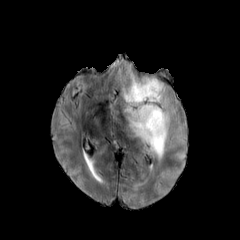
FLAIR MR image.
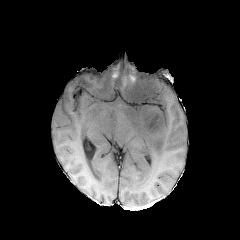
T1-weighted MR.
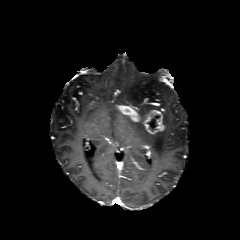
Post-contrast T1-weighted MRI.
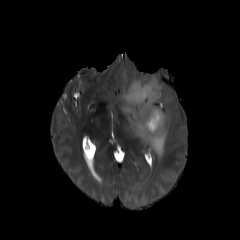
T2-weighted MR image of the same slice.
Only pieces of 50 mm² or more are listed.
The largest peritumoral edema region lies within rect(117, 73, 170, 159). The enhancing tumor is located at rect(118, 105, 165, 134). The necrotic tumor core is at rect(148, 115, 159, 130).